FLAIR MRI.
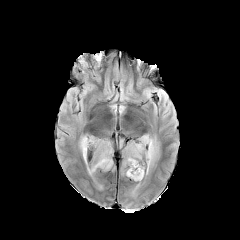
T1-weighted MR image.
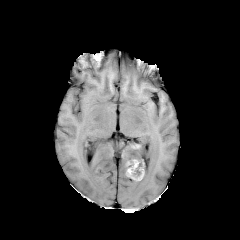
Post-contrast T1-weighted MR.
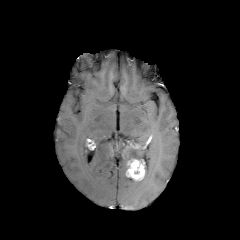
T2-weighted MR.
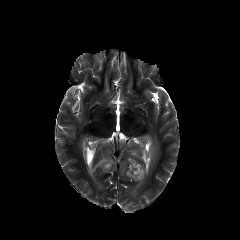
240x240 px
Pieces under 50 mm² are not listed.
The largest enhancing tumor region lies within x1=126, y1=159, x2=145, y2=180. The 2 largest peritumoral edema regions are bounded by x1=80, y1=136, x2=112, y2=175; x1=124, y1=135, x2=157, y2=175.